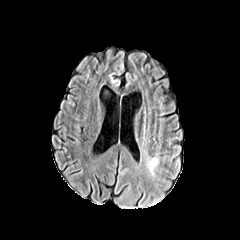
FLAIR MR image.
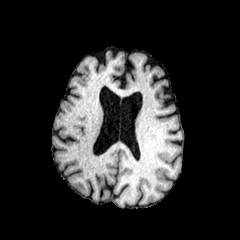
T1-weighted MR image of the same slice.
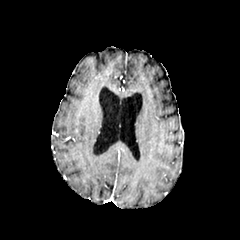
Same slice, post-contrast T1-weighted MR image.
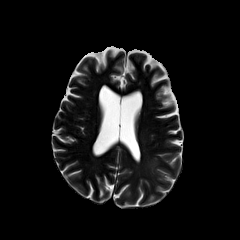
T2-weighted magnetic resonance.
Brain
The peritumoral edema lies within (x1=147, y1=158, x2=157, y2=171).